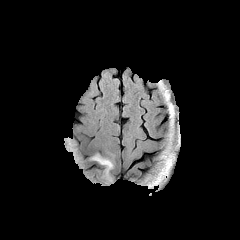
FLAIR magnetic resonance.
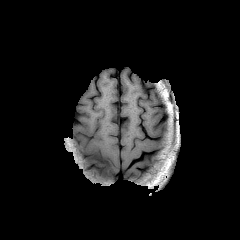
T1-weighted MRI.
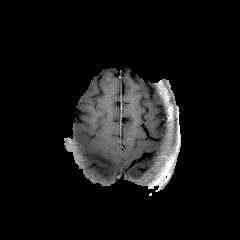
Same slice, post-contrast T1-weighted MR image.
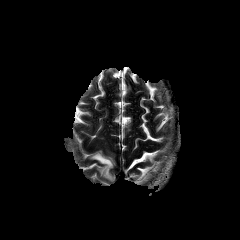
T2-weighted magnetic resonance.
Axial view.
peritumoral_edema:
  - [x1=90, y1=153, x2=114, y2=181]